Head | Image covers 240 mm x 240 mm
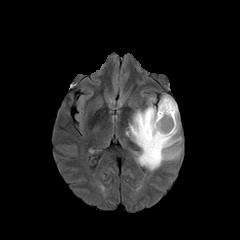
FLAIR MR image.
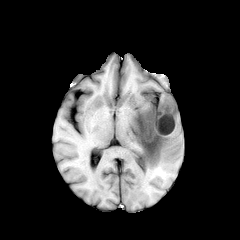
T1-weighted magnetic resonance of the same slice.
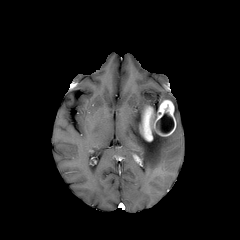
Post-contrast T1-weighted MR image of the same slice.
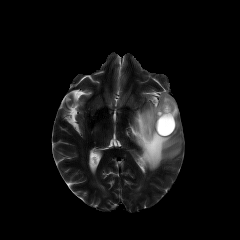
T2-weighted MR image.
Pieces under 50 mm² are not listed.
peritumoral edema = (126,94,181,170), (148,97,157,111)
enhancing tumor = (139,99,176,141)
necrotic tumor core = (156,113,174,133)